Image width 240 mm | Axial view | Slice 45 of 155
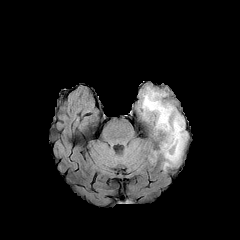
FLAIR MR image.
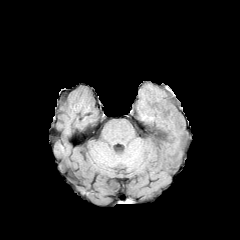
T1-weighted MR.
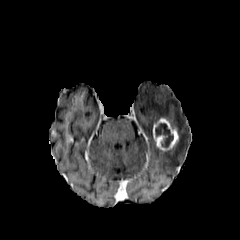
Same slice, post-contrast T1-weighted MR.
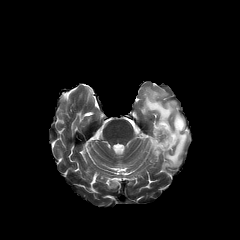
T2-weighted MR image of the same slice.
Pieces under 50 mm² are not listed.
<segmentation>
  <enhancing_tumor>[153,118,178,150]</enhancing_tumor>
  <necrotic_tumor_core>[155,123,173,147]</necrotic_tumor_core>
  <peritumoral_edema>[140,86,188,171]</peritumoral_edema>
</segmentation>